FLAIR MR.
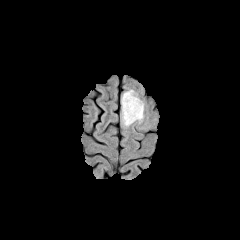
T1-weighted MR.
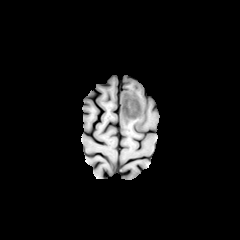
Post-contrast T1-weighted MRI.
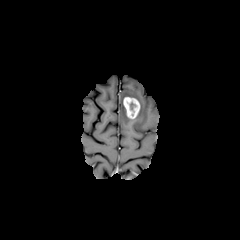
T2-weighted MR.
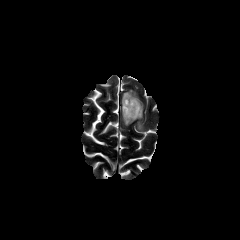
Axial slice
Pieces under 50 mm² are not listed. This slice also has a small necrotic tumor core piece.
peritumoral edema: bounding box [121, 89, 144, 127]
enhancing tumor: bounding box [123, 96, 140, 119]